240x240
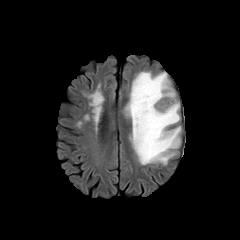
FLAIR magnetic resonance.
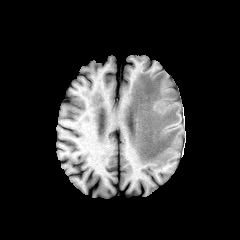
T1-weighted MR image.
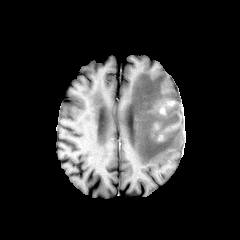
Post-contrast T1-weighted magnetic resonance.
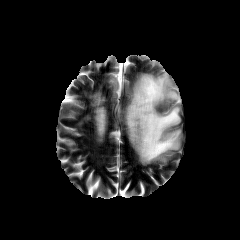
T2-weighted MR.
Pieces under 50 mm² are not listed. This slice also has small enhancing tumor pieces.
The peritumoral edema is at [125,72,181,165].